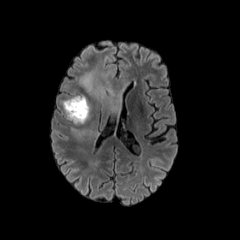
FLAIR MR image.
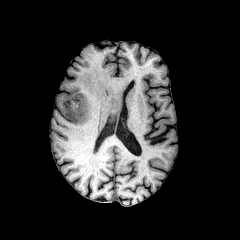
T1-weighted MRI.
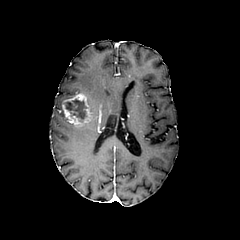
Post-contrast T1-weighted MRI.
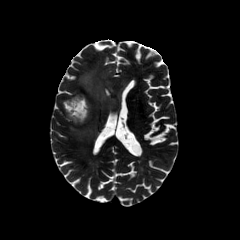
T2-weighted magnetic resonance.
Axial view. Brain. 240x240 px.
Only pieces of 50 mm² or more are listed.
2 peritumoral edema regions appear at <box>71,128,87,138</box>, <box>79,58,123,127</box>. The largest enhancing tumor region is at <box>62,93,91,126</box>. The necrotic tumor core is located at <box>66,99,86,119</box>.